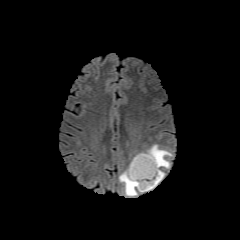
FLAIR magnetic resonance.
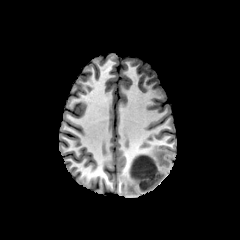
T1-weighted MR image.
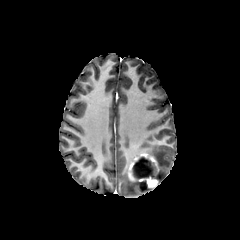
Post-contrast T1-weighted magnetic resonance.
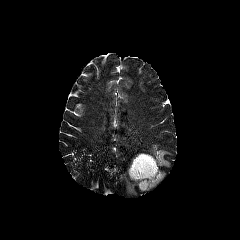
T2-weighted MRI.
Brain. 240x240 px. Axial plane.
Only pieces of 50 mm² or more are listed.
peritumoral_edema:
  - <bbox>141, 144, 172, 183</bbox>
  - <bbox>119, 166, 151, 196</bbox>
necrotic_tumor_core:
  - <bbox>132, 157, 156, 178</bbox>
enhancing_tumor:
  - <bbox>128, 153, 158, 188</bbox>